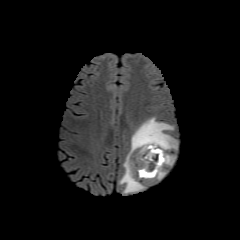
FLAIR MR.
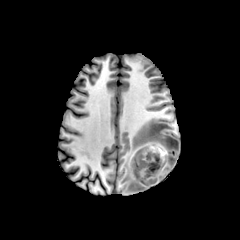
T1-weighted MR of the same slice.
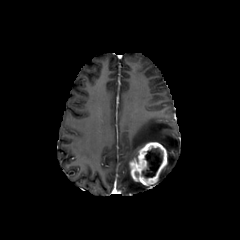
Post-contrast T1-weighted MRI of the same slice.
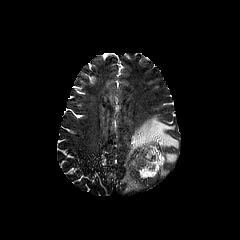
T2-weighted MR.
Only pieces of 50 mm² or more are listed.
The enhancing tumor lies within (x1=129, y1=140, x2=167, y2=185). The largest necrotic tumor core region lies within (x1=142, y1=148, x2=162, y2=177). The 2 largest peritumoral edema regions are bounded by (x1=167, y1=153, x2=175, y2=165), (x1=119, y1=117, x2=178, y2=193).